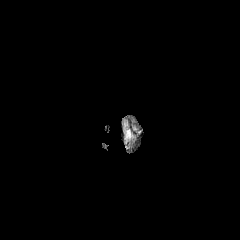
FLAIR MR image.
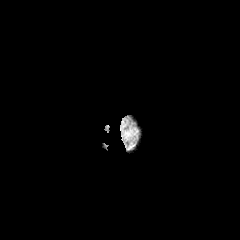
T1-weighted MR.
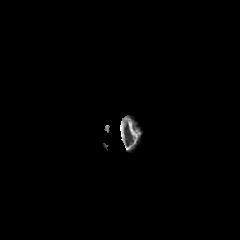
Same slice, post-contrast T1-weighted MR image.
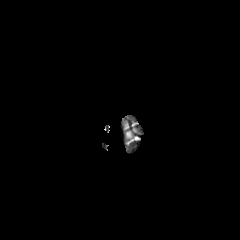
Same slice, T2-weighted MR image.
240x240, Brain
peritumoral_edema:
  - box(122, 119, 135, 143)